FLAIR magnetic resonance.
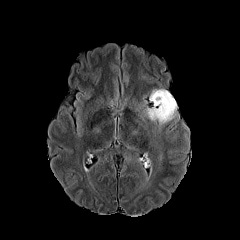
T1-weighted MR image.
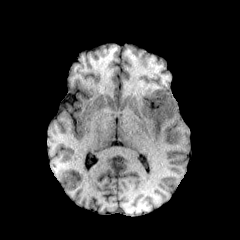
Post-contrast T1-weighted magnetic resonance.
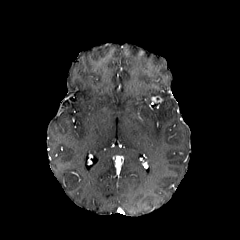
T2-weighted MR image.
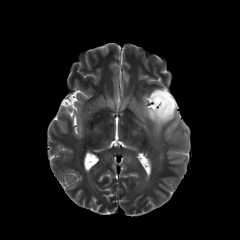
Axial view; Brain
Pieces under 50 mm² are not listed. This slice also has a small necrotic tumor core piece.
The enhancing tumor appears at {"x1": 151, "y1": 96, "x2": 162, "y2": 102}. The peritumoral edema is located at {"x1": 145, "y1": 89, "x2": 177, "y2": 124}.